Axial view; Image covers 240 mm x 240 mm; Image size 240x240
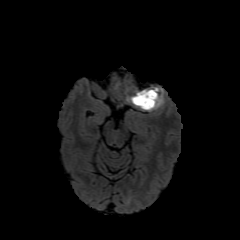
FLAIR MR image.
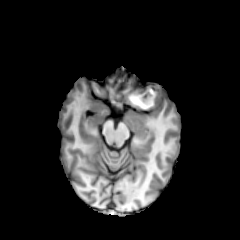
Same slice, T1-weighted magnetic resonance.
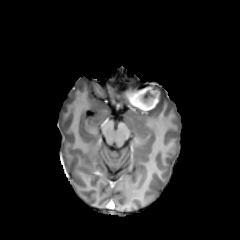
Post-contrast T1-weighted MRI.
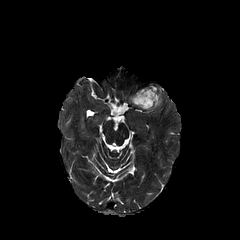
T2-weighted MRI.
The peritumoral edema is at (153,87,163,109). The necrotic tumor core appears at (135,87,157,106). The enhancing tumor appears at (125,84,160,110).